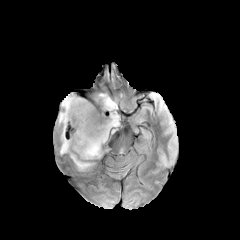
FLAIR MR.
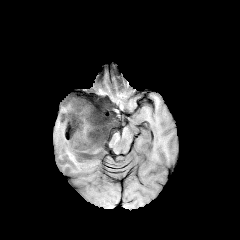
T1-weighted MR image.
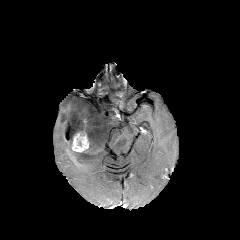
Post-contrast T1-weighted magnetic resonance.
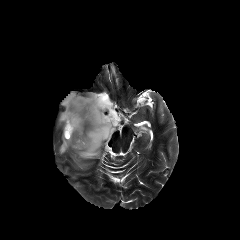
T2-weighted magnetic resonance.
Brain
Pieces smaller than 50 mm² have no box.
The peritumoral edema is bounded by (x1=58, y1=93, x2=120, y2=170). The enhancing tumor is located at (x1=65, y1=124, x2=88, y2=152). The largest necrotic tumor core region is at (x1=66, y1=125, x2=82, y2=139).